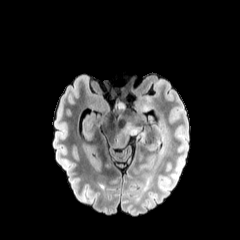
FLAIR MRI.
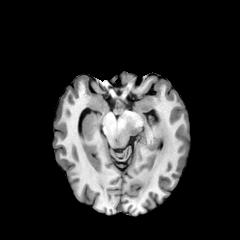
Same slice, T1-weighted MR.
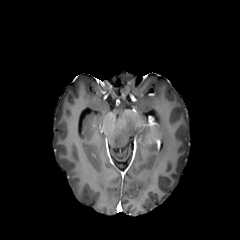
Post-contrast T1-weighted magnetic resonance of the same slice.
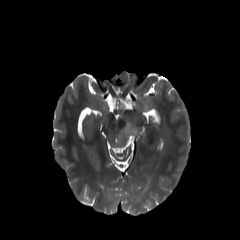
T2-weighted MRI.
Axial slice, Head
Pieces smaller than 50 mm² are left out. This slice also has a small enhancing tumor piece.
<segmentation>
  <peritumoral_edema>region(117, 122, 145, 146)</peritumoral_edema>
</segmentation>